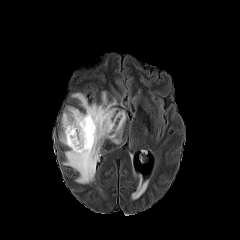
FLAIR MR.
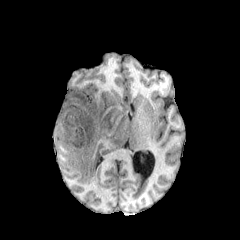
T1-weighted magnetic resonance.
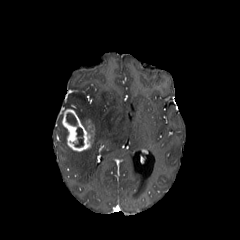
Post-contrast T1-weighted magnetic resonance.
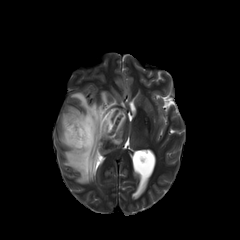
T2-weighted magnetic resonance of the same slice.
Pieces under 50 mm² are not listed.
<segmentation>
  <necrotic_tumor_core>(left=66, top=113, right=77, bottom=125), (left=74, top=127, right=83, bottom=147)</necrotic_tumor_core>
  <enhancing_tumor>(left=62, top=109, right=94, bottom=151)</enhancing_tumor>
  <peritumoral_edema>(left=131, top=173, right=149, bottom=199), (left=60, top=125, right=68, bottom=145), (left=63, top=91, right=127, bottom=183)</peritumoral_edema>
</segmentation>